240x240 px; Slice 107 of 155; Axial slice
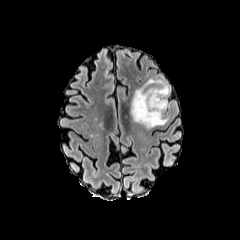
FLAIR MRI.
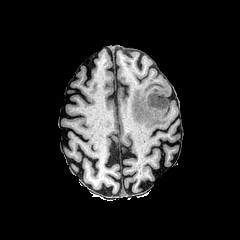
Same slice, T1-weighted MR image.
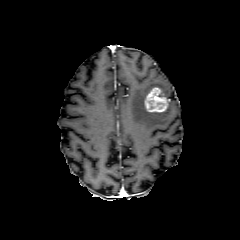
Post-contrast T1-weighted MRI of the same slice.
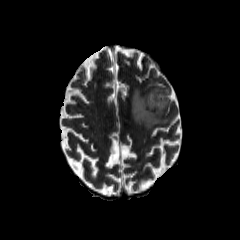
T2-weighted MRI of the same slice.
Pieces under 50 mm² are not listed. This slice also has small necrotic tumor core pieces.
peritumoral edema = (left=131, top=79, right=169, bottom=128)
enhancing tumor = (left=144, top=87, right=168, bottom=112)